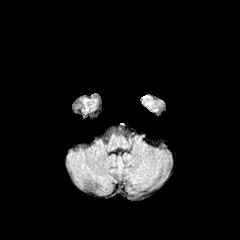
FLAIR MR.
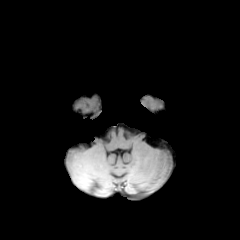
Same slice, T1-weighted MR.
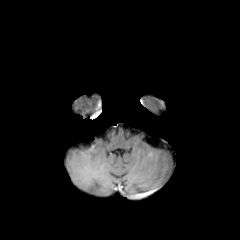
Post-contrast T1-weighted magnetic resonance of the same slice.
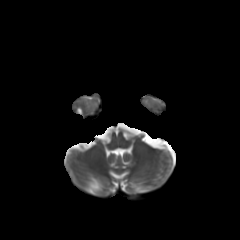
T2-weighted magnetic resonance.
240x240, Axial view
peritumoral edema: [142, 97, 162, 112]